FLAIR magnetic resonance.
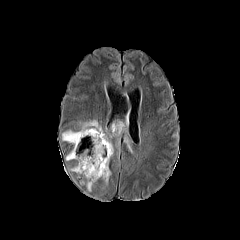
T1-weighted MRI.
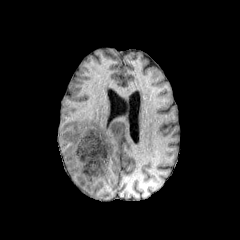
Post-contrast T1-weighted MRI.
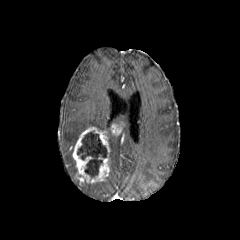
T2-weighted magnetic resonance.
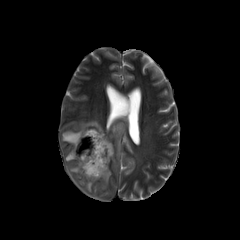
Axial plane. Head. Image size 240x240.
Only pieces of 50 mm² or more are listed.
necrotic_tumor_core:
  - 77 131 107 177
enhancing_tumor:
  - 110 122 124 136
  - 72 126 110 183
peritumoral_edema:
  - 62 120 103 146
  - 108 140 113 158
  - 65 149 73 160
  - 125 138 132 152